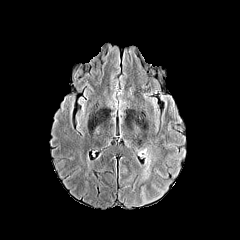
FLAIR magnetic resonance.
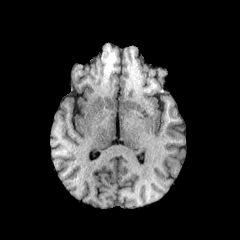
T1-weighted MR.
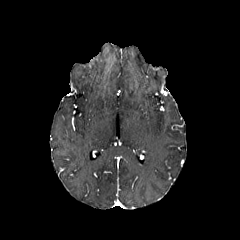
Post-contrast T1-weighted MR of the same slice.
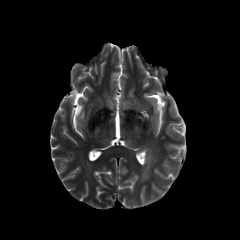
T2-weighted MR image of the same slice.
240x240 px. Head.
Segmented structures:
* peritumoral edema: {"x1": 145, "y1": 153, "x2": 150, "y2": 165}